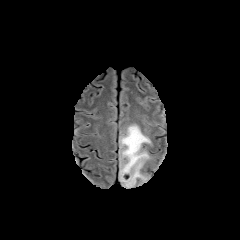
FLAIR MR image.
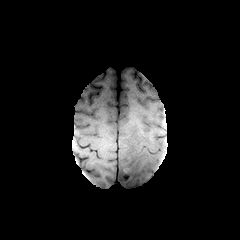
Same slice, T1-weighted magnetic resonance.
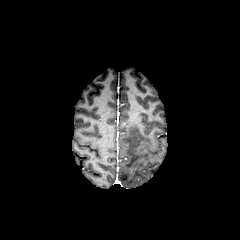
Post-contrast T1-weighted MR image of the same slice.
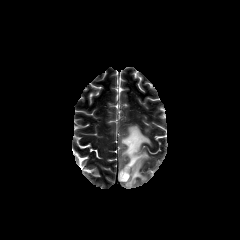
T2-weighted MRI.
240x240 px, Axial view
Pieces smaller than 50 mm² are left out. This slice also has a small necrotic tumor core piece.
<segmentation>
  <peritumoral_edema>119 125 150 187</peritumoral_edema>
</segmentation>